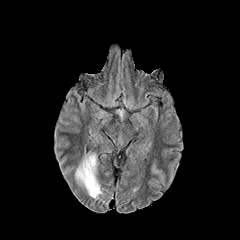
FLAIR MR.
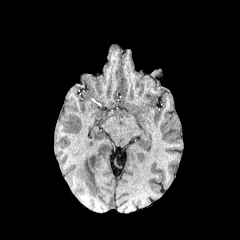
Same slice, T1-weighted magnetic resonance.
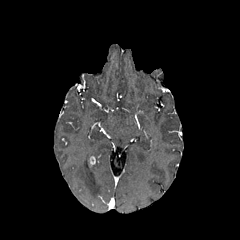
Post-contrast T1-weighted MRI.
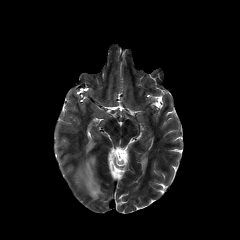
T2-weighted magnetic resonance.
Head | Axial slice
<segmentation>
  <enhancing_tumor><bbox>88, 156, 95, 168</bbox></enhancing_tumor>
  <peritumoral_edema><bbox>75, 154, 102, 199</bbox></peritumoral_edema>
</segmentation>